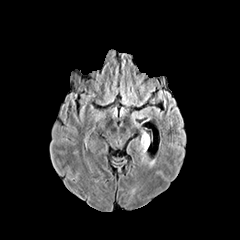
FLAIR MR image.
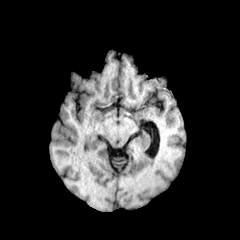
T1-weighted MR image.
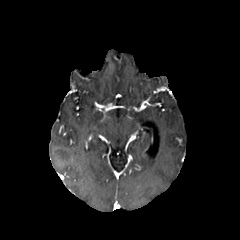
Post-contrast T1-weighted MRI.
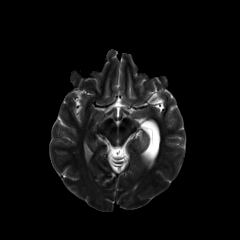
T2-weighted MR.
Brain, 240x240 px
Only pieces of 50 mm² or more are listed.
peritumoral edema = l=141, t=135, r=149, b=151